FLAIR MR image.
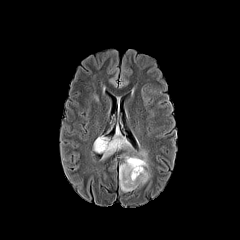
T1-weighted MR image.
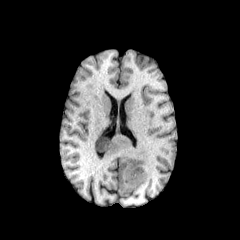
Post-contrast T1-weighted MRI.
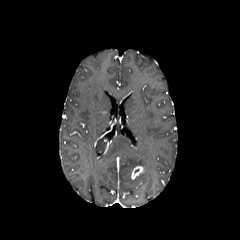
T2-weighted MR.
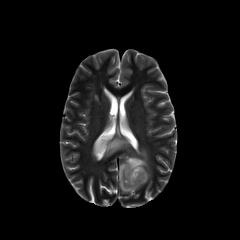
Axial slice; Head
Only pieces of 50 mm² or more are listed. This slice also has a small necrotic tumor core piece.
Segmented structures:
• peritumoral edema: 93,131,131,159; 119,150,150,191
• enhancing tumor: 131,166,143,179